240x240 px; Head
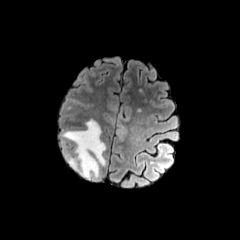
FLAIR MRI.
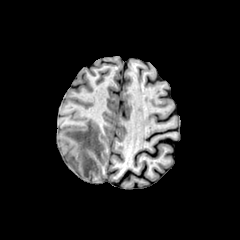
Same slice, T1-weighted MR image.
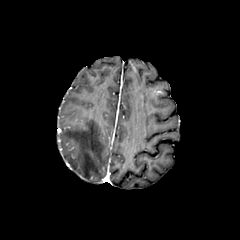
Post-contrast T1-weighted MR image.
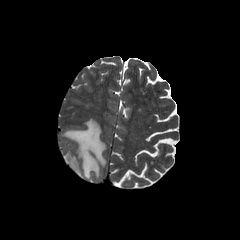
T2-weighted magnetic resonance.
The peritumoral edema is at left=62, top=119, right=105, bottom=179.